FLAIR MR.
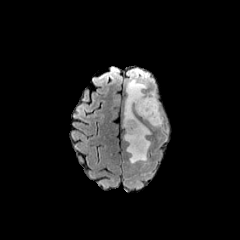
T1-weighted magnetic resonance.
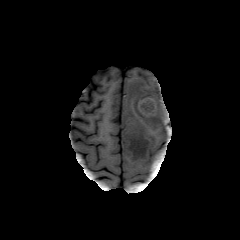
Post-contrast T1-weighted magnetic resonance.
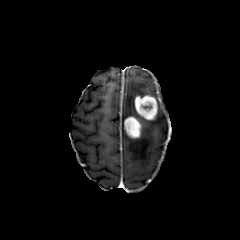
T2-weighted MR.
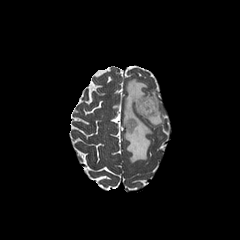
Axial plane
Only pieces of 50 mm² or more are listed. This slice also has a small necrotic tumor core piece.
Segmented structures:
* enhancing tumor: <box>134,95,157,120</box>, <box>124,116,141,138</box>
* peritumoral edema: <box>149,100,163,126</box>, <box>124,121,151,163</box>, <box>124,78,156,120</box>